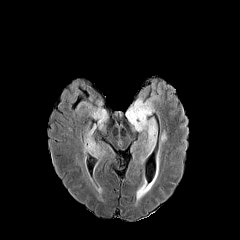
FLAIR MR.
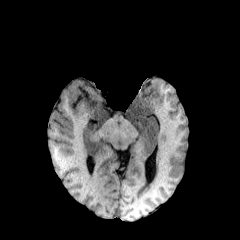
T1-weighted magnetic resonance.
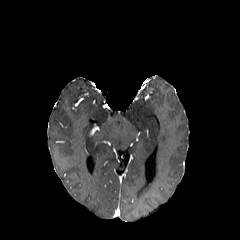
Post-contrast T1-weighted MRI of the same slice.
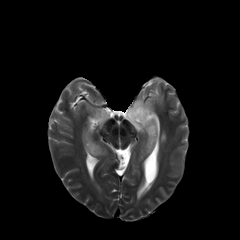
T2-weighted MRI.
Axial view; 240x240
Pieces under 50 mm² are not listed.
<segmentation>
  <peritumoral_edema>[85,109,107,156], [160,128,166,141], [126,97,156,154]</peritumoral_edema>
</segmentation>